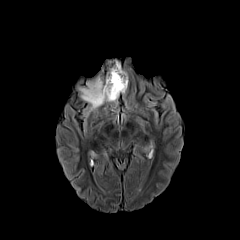
FLAIR magnetic resonance.
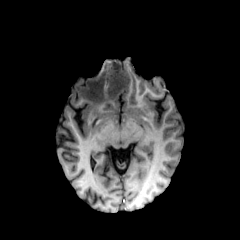
T1-weighted MRI.
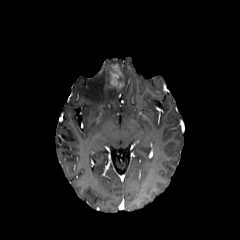
Same slice, post-contrast T1-weighted MRI.
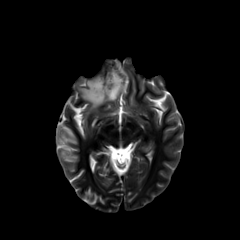
T2-weighted magnetic resonance.
Image size 240x240. Head.
The enhancing tumor is at (x1=107, y1=64, x2=124, y2=90). The peritumoral edema is located at (x1=78, y1=60, x2=128, y2=111).